FLAIR MRI.
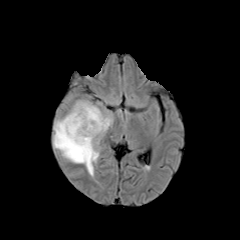
T1-weighted MR image.
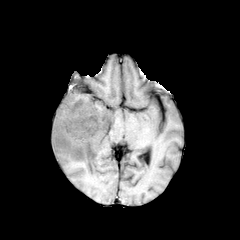
Post-contrast T1-weighted magnetic resonance.
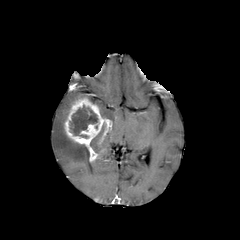
T2-weighted magnetic resonance.
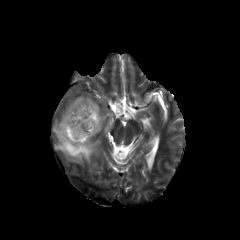
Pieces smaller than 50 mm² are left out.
necrotic tumor core: 70 106 97 137 | peritumoral edema: 100 109 113 125, 53 104 103 176 | enhancing tumor: 63 97 111 162